FLAIR magnetic resonance.
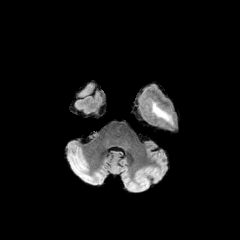
T1-weighted MR image.
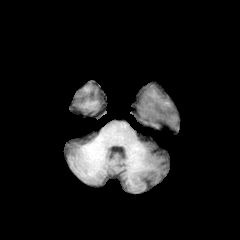
Post-contrast T1-weighted MR.
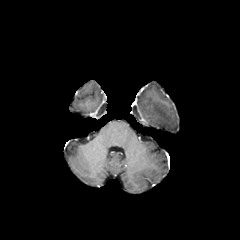
T2-weighted magnetic resonance.
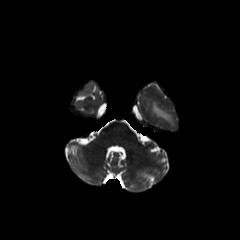
Axial slice
peritumoral edema: <box>152,101,174,125</box>